Axial plane. Head. 240x240.
FLAIR MRI.
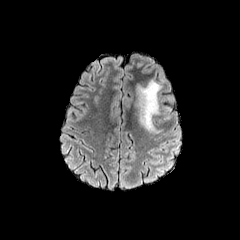
T1-weighted MR image.
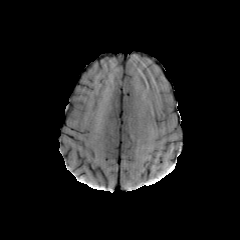
Post-contrast T1-weighted magnetic resonance.
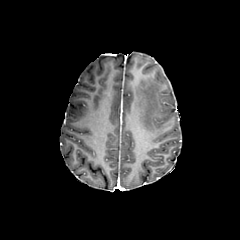
T2-weighted magnetic resonance.
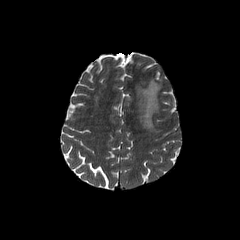
The peritumoral edema is at [x1=133, y1=79, x2=161, y2=133].